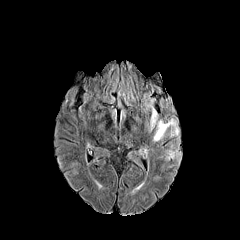
FLAIR MR image.
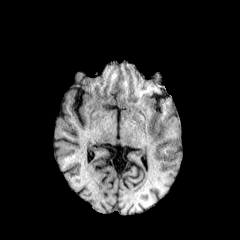
T1-weighted MR image.
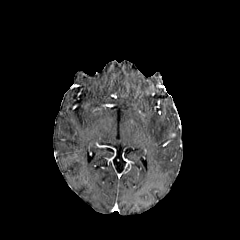
Same slice, post-contrast T1-weighted magnetic resonance.
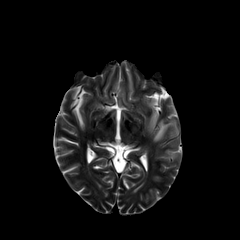
T2-weighted MR image of the same slice.
Axial slice
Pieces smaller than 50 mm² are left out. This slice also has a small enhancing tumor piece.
2 peritumoral edema regions are bounded by region(148, 108, 179, 141); region(165, 144, 180, 162).